FLAIR MR.
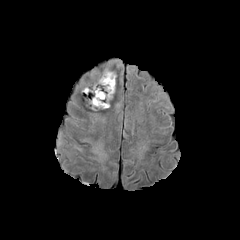
T1-weighted MR.
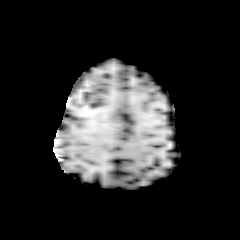
Post-contrast T1-weighted MRI.
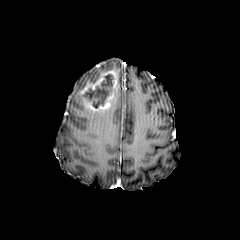
T2-weighted MRI.
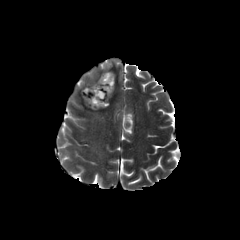
Axial plane | 240x240
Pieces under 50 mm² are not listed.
{"necrotic_tumor_core": ["bbox=[86, 74, 113, 108]"], "enhancing_tumor": ["bbox=[80, 70, 119, 110]"]}